FLAIR MR image.
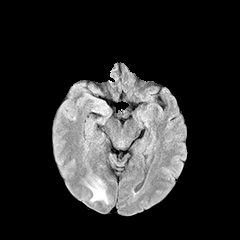
T1-weighted MR.
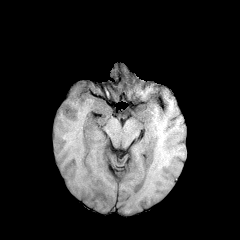
Post-contrast T1-weighted MRI.
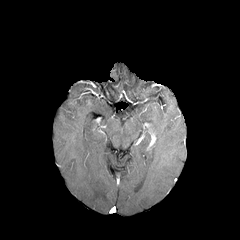
T2-weighted magnetic resonance.
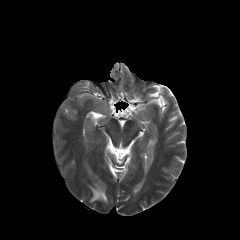
Head, Axial slice
peritumoral_edema:
  - bbox=[88, 179, 107, 202]